FLAIR MRI.
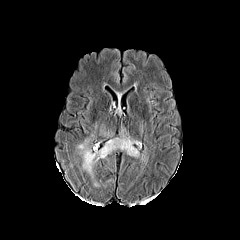
T1-weighted magnetic resonance.
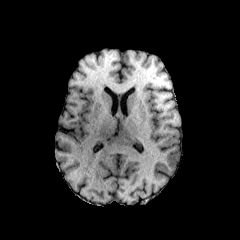
Post-contrast T1-weighted magnetic resonance.
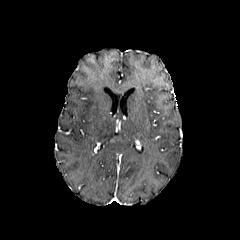
T2-weighted MRI.
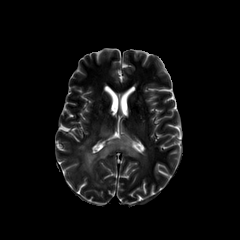
Head, 240x240 px
peritumoral edema — (78, 136, 138, 174)